Brain. Slice 107 of 155. Image size 240x240.
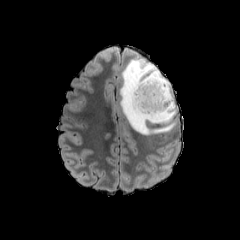
FLAIR MR image.
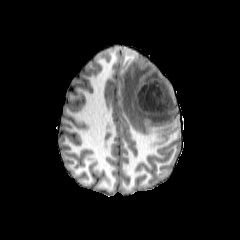
T1-weighted MR image.
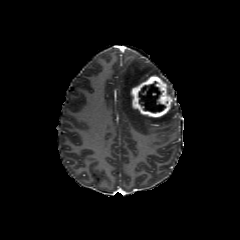
Post-contrast T1-weighted MRI.
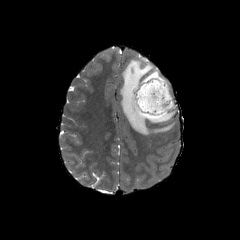
Same slice, T2-weighted MRI.
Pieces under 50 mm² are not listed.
necrotic tumor core — {"x1": 138, "y1": 81, "x2": 165, "y2": 112}
enhancing tumor — {"x1": 128, "y1": 75, "x2": 172, "y2": 119}
peritumoral edema — {"x1": 119, "y1": 57, "x2": 176, "y2": 135}